Brain; Axial plane
FLAIR MR image.
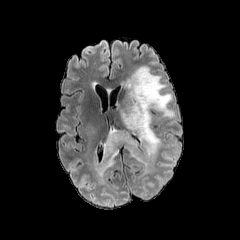
T1-weighted magnetic resonance.
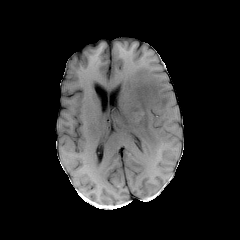
Post-contrast T1-weighted magnetic resonance.
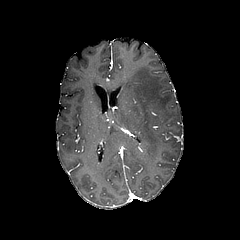
T2-weighted MR image.
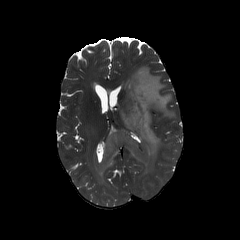
• peritumoral edema: {"x1": 96, "y1": 66, "x2": 175, "y2": 178}